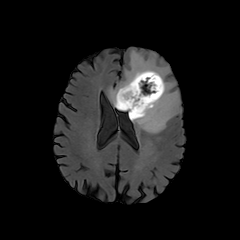
FLAIR MRI.
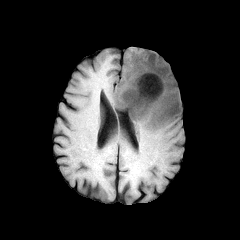
Same slice, T1-weighted MR.
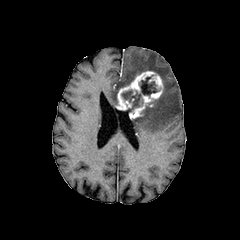
Same slice, post-contrast T1-weighted MRI.
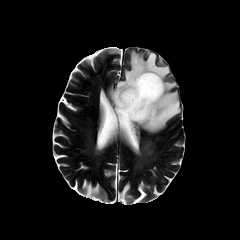
T2-weighted MR of the same slice.
Axial slice | Brain
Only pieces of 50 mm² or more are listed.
necrotic_tumor_core:
  - x1=140 y1=77 x2=158 y2=95
  - x1=121 y1=90 x2=142 y2=112
peritumoral_edema:
  - x1=108 y1=50 x2=181 y2=133
enhancing_tumor:
  - x1=115 y1=71 x2=163 y2=119